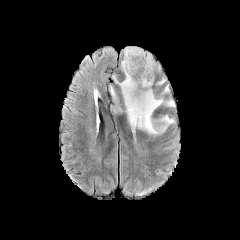
FLAIR MRI.
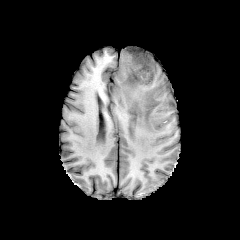
T1-weighted MR image.
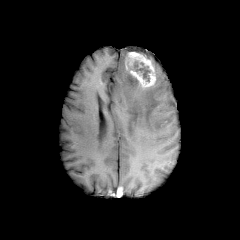
Post-contrast T1-weighted MR image.
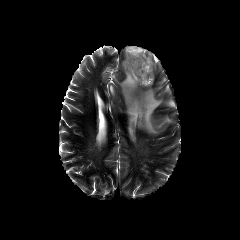
Same slice, T2-weighted magnetic resonance.
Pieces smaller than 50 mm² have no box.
necrotic tumor core = x1=134, y1=62, x2=149, y2=81
enhancing tumor = x1=125, y1=50, x2=155, y2=87
peritumoral edema = x1=110, y1=46, x2=174, y2=142